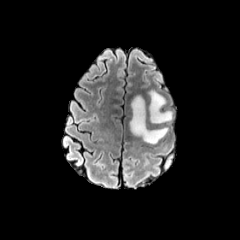
FLAIR MR image.
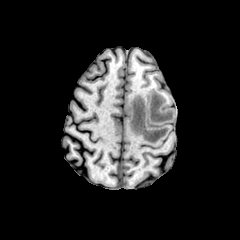
T1-weighted magnetic resonance.
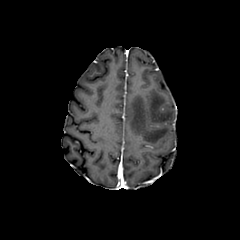
Same slice, post-contrast T1-weighted MR image.
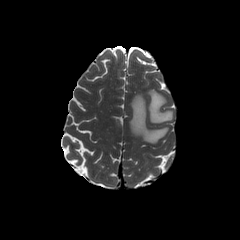
T2-weighted MR image.
240x240 px
peritumoral_edema:
  - l=129, t=90, r=172, b=143